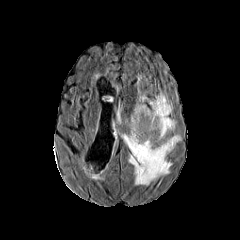
FLAIR MRI.
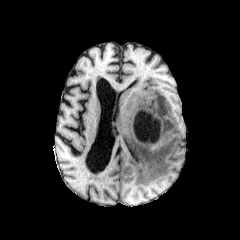
T1-weighted MR image.
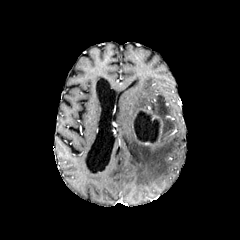
Post-contrast T1-weighted MR.
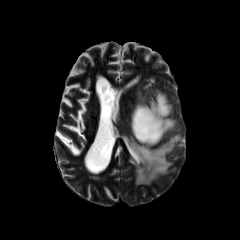
T2-weighted MR.
Axial slice
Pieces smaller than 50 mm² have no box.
{"necrotic_tumor_core": ["<bbox>133, 110, 160, 143</bbox>"], "peritumoral_edema": ["<bbox>122, 104, 180, 185</bbox>", "<bbox>149, 93, 175, 138</bbox>"], "enhancing_tumor": ["<bbox>133, 108, 162, 145</bbox>"]}